Axial slice; 240x240
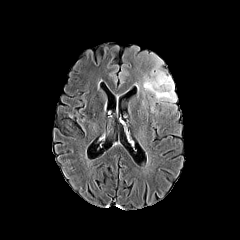
FLAIR MRI.
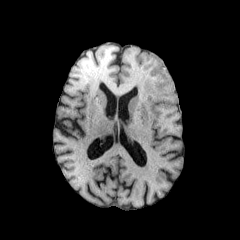
T1-weighted MR image of the same slice.
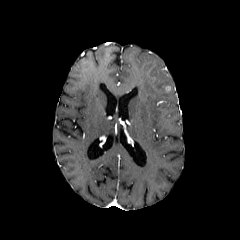
Same slice, post-contrast T1-weighted MR image.
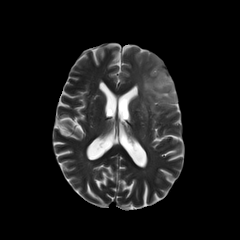
T2-weighted magnetic resonance.
• enhancing tumor: {"x1": 163, "y1": 85, "x2": 171, "y2": 92}
• peritumoral edema: {"x1": 142, "y1": 53, "x2": 176, "y2": 110}